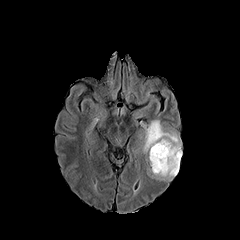
FLAIR MR.
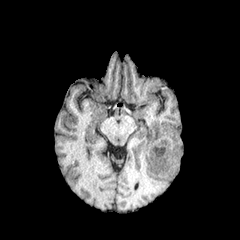
T1-weighted MR image.
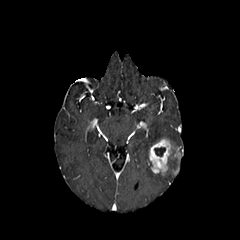
Post-contrast T1-weighted magnetic resonance of the same slice.
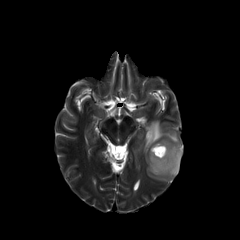
T2-weighted magnetic resonance.
240x240 px | Axial view
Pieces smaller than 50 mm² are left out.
necrotic tumor core: (x1=154, y1=147, x2=165, y2=156) | peritumoral edema: (x1=153, y1=158, x2=179, y2=179), (x1=143, y1=120, x2=181, y2=156) | enhancing tumor: (x1=149, y1=138, x2=180, y2=175)